FLAIR MR.
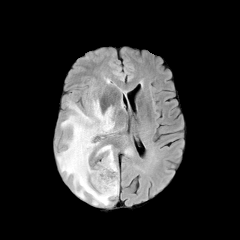
T1-weighted magnetic resonance.
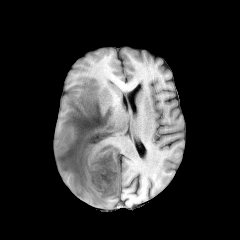
Post-contrast T1-weighted MRI.
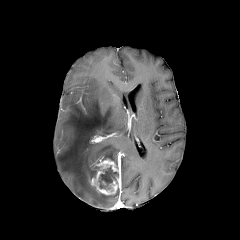
T2-weighted MRI.
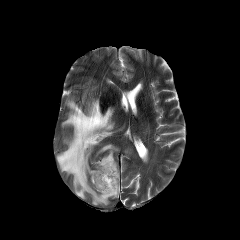
240x240.
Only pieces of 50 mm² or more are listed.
<segmentation>
  <necrotic_tumor_core>bbox=[99, 167, 118, 188]</necrotic_tumor_core>
  <enhancing_tumor>bbox=[90, 158, 120, 195]</enhancing_tumor>
  <peritumoral_edema>bbox=[56, 98, 119, 206]; bbox=[125, 148, 132, 155]; bbox=[96, 144, 115, 162]</peritumoral_edema>
</segmentation>